Axial slice. Slice index 106. Head.
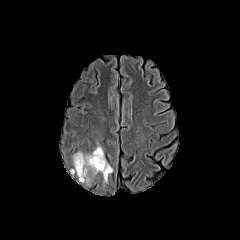
FLAIR MRI.
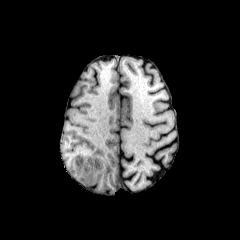
T1-weighted MRI.
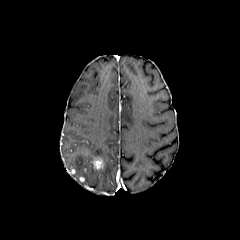
Post-contrast T1-weighted MR image of the same slice.
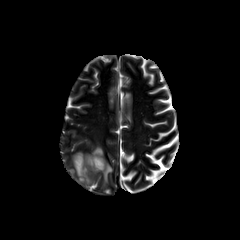
T2-weighted MR image.
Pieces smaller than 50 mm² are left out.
enhancing tumor: bbox=[91, 157, 104, 169]
peritumoral edema: bbox=[72, 145, 112, 183]